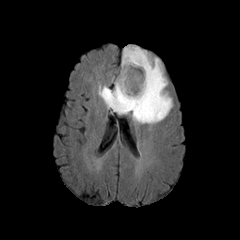
FLAIR MRI.
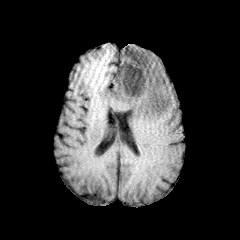
T1-weighted magnetic resonance of the same slice.
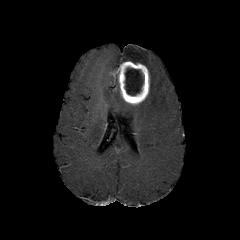
Post-contrast T1-weighted MR of the same slice.
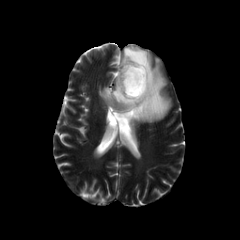
T2-weighted MRI.
Axial slice. Head.
peritumoral edema = box=[98, 45, 172, 123]
necrotic tumor core = box=[125, 68, 143, 95]
enhancing tumor = box=[114, 61, 150, 104]